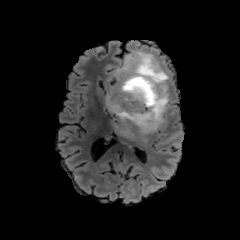
FLAIR magnetic resonance.
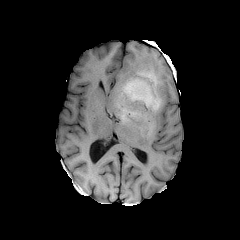
T1-weighted MR image of the same slice.
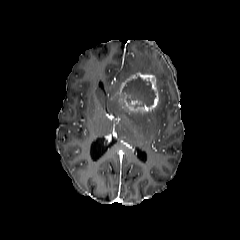
Post-contrast T1-weighted magnetic resonance.
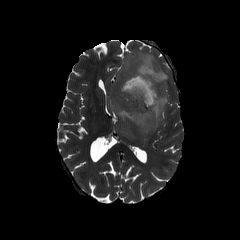
T2-weighted MRI of the same slice.
Axial plane; Head
The enhancing tumor is bounded by l=119, t=72, r=159, b=111. The peritumoral edema appears at l=107, t=50, r=170, b=137. The necrotic tumor core is bounded by l=123, t=77, r=155, b=106.